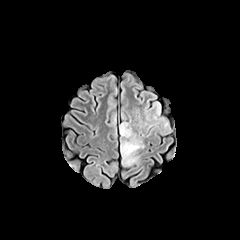
FLAIR magnetic resonance.
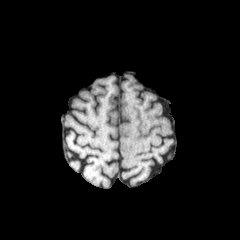
Same slice, T1-weighted MR.
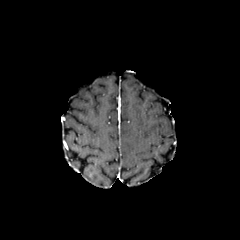
Post-contrast T1-weighted magnetic resonance of the same slice.
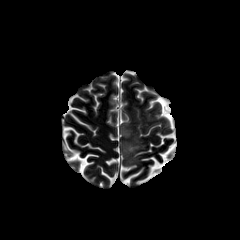
T2-weighted MR of the same slice.
Axial plane
peritumoral edema: [120,123,143,165]